FLAIR MR image.
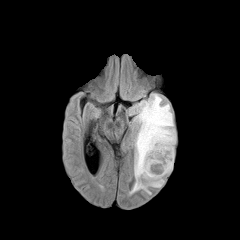
T1-weighted magnetic resonance.
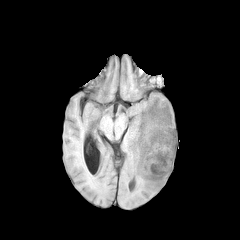
Post-contrast T1-weighted MR.
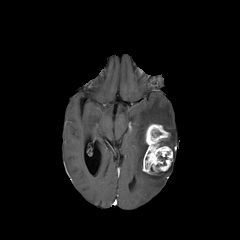
T2-weighted magnetic resonance.
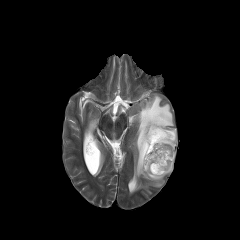
Brain
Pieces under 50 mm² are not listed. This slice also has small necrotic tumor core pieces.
peritumoral_edema:
  - (131, 94, 176, 193)
enhancing_tumor:
  - (142, 124, 173, 174)